Slice 107 of 155. Brain. 240x240.
FLAIR MRI.
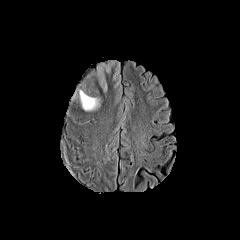
T1-weighted magnetic resonance.
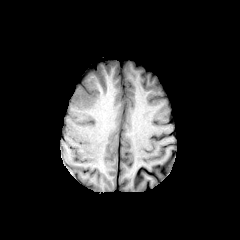
Post-contrast T1-weighted MR.
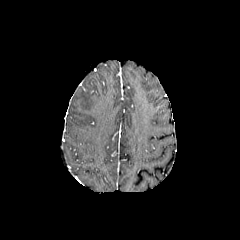
T2-weighted MRI.
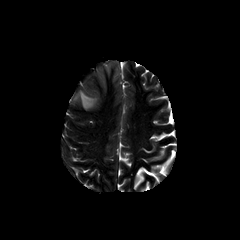
The peritumoral edema is located at {"x1": 70, "y1": 60, "x2": 121, "y2": 110}.